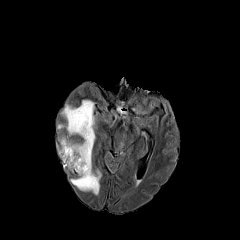
FLAIR MR image.
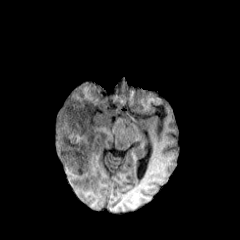
T1-weighted MRI of the same slice.
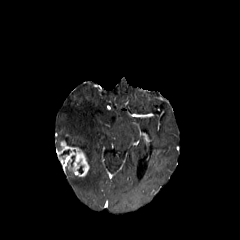
Post-contrast T1-weighted MRI of the same slice.
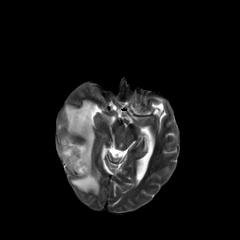
Same slice, T2-weighted MRI.
Axial slice; 240x240 px
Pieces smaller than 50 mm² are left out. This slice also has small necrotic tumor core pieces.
{
  "peritumoral_edema": [
    "bbox(57, 100, 101, 194)"
  ],
  "enhancing_tumor": [
    "bbox(58, 140, 89, 176)"
  ]
}